FLAIR magnetic resonance.
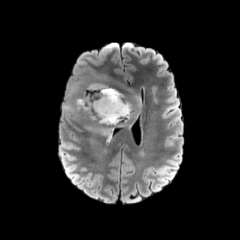
T1-weighted MRI.
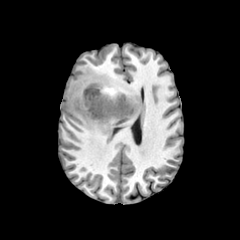
Post-contrast T1-weighted MR image.
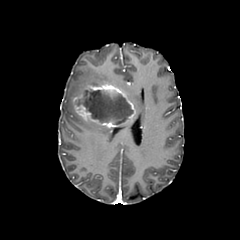
T2-weighted MR image.
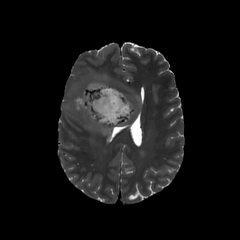
Head
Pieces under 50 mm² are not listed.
enhancing tumor: rect(72, 83, 136, 130) | peritumoral edema: rect(64, 103, 75, 112); rect(84, 125, 112, 137); rect(129, 94, 141, 120) | necrotic tumor core: rect(77, 90, 133, 124)